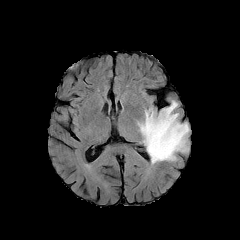
FLAIR MR.
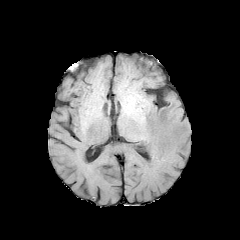
T1-weighted MR of the same slice.
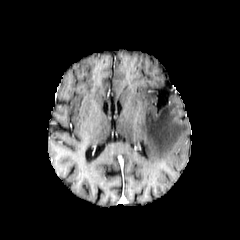
Post-contrast T1-weighted MRI.
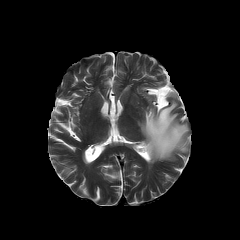
T2-weighted magnetic resonance.
240x240 px | Brain | Axial view
peritumoral edema: bounding box x1=137 y1=100 x2=189 y2=163